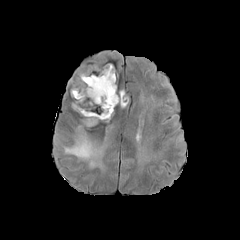
FLAIR MR image.
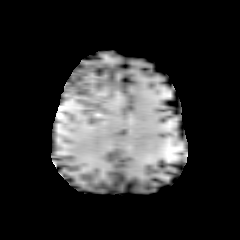
T1-weighted MR.
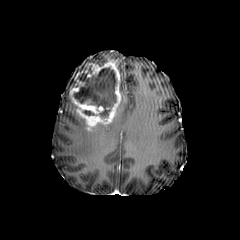
Same slice, post-contrast T1-weighted magnetic resonance.
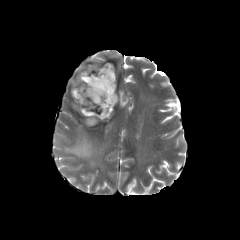
T2-weighted magnetic resonance.
Axial plane. 240x240. Head.
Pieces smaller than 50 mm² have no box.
The largest enhancing tumor region is at box(69, 63, 121, 126). The largest necrotic tumor core region is bounded by box(73, 66, 116, 117). The 2 largest peritumoral edema regions appear at box(61, 125, 102, 167); box(120, 90, 129, 107).